Image width 240 mm, Slice 100 of 155, Axial slice
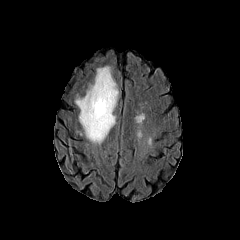
FLAIR MRI.
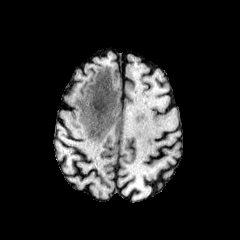
T1-weighted MR of the same slice.
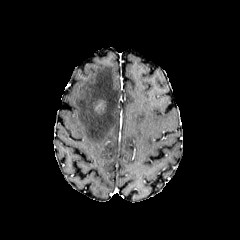
Post-contrast T1-weighted MR image.
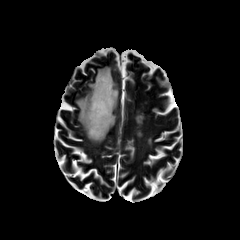
Same slice, T2-weighted magnetic resonance.
peritumoral edema: [x1=75, y1=66, x2=118, y2=144] | enhancing tumor: [x1=95, y1=100, x2=104, y2=112]